FLAIR MR.
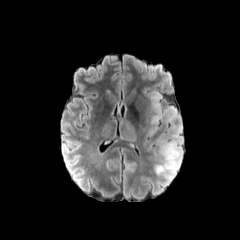
T1-weighted MRI.
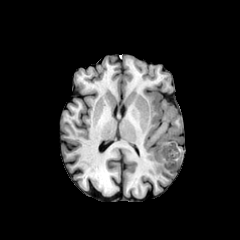
Post-contrast T1-weighted MR.
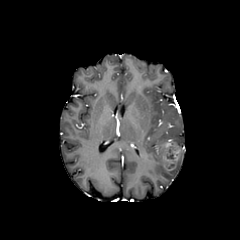
T2-weighted MR.
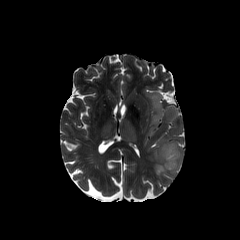
Axial slice | Head | 240x240 px
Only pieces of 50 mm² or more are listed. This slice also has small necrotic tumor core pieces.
peritumoral edema: [155, 107, 183, 178], [140, 88, 161, 126] | enhancing tumor: [161, 142, 180, 170]